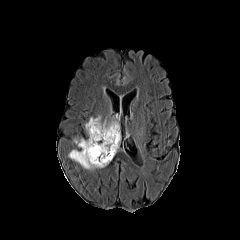
FLAIR MRI.
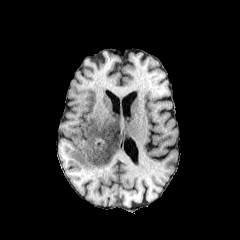
T1-weighted magnetic resonance.
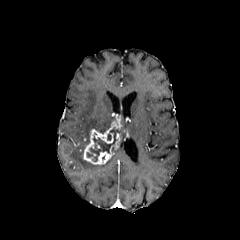
Post-contrast T1-weighted magnetic resonance.
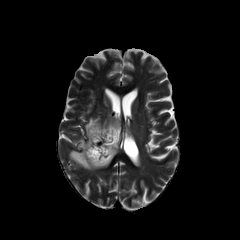
T2-weighted magnetic resonance.
Axial view; Head
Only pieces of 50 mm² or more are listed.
{"enhancing_tumor": ["l=83, t=115, r=120, b=165"], "necrotic_tumor_core": ["l=87, t=129, r=119, b=161"], "peritumoral_edema": ["l=69, t=139, r=118, b=170", "l=85, t=116, r=110, b=137"]}